Slice index 98. Brain. Image width 240 mm. Image size 240x240. Axial view.
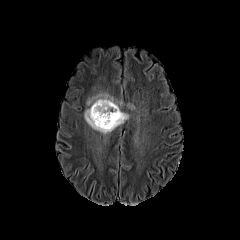
FLAIR MRI.
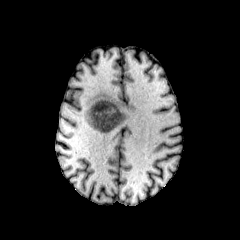
Same slice, T1-weighted MR image.
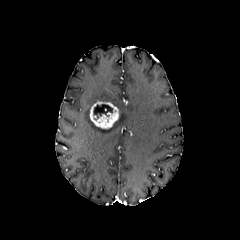
Post-contrast T1-weighted magnetic resonance.
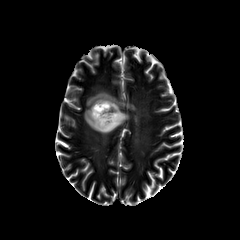
T2-weighted MR.
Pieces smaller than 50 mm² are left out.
Annotated regions:
* peritumoral edema: box(84, 92, 129, 134)
* necrotic tumor core: box(93, 104, 112, 118)
* enhancing tumor: box(89, 101, 119, 129)